Axial view | Slice 115 of 155 | Image covers 240 mm x 240 mm
FLAIR MRI.
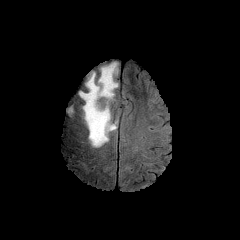
T1-weighted MR.
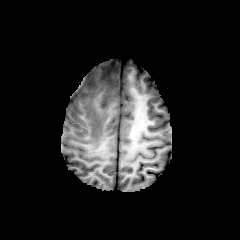
Post-contrast T1-weighted MR.
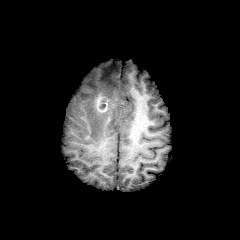
T2-weighted magnetic resonance.
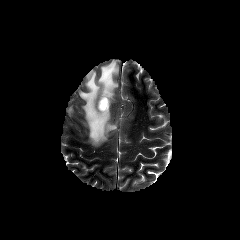
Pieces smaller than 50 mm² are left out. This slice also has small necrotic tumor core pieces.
enhancing tumor: 97:97:108:112
peritumoral edema: 79:61:118:146